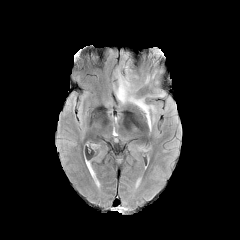
FLAIR MR image.
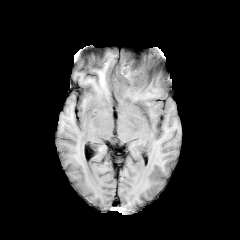
T1-weighted MR image of the same slice.
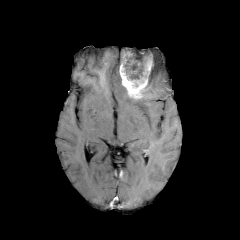
Same slice, post-contrast T1-weighted magnetic resonance.
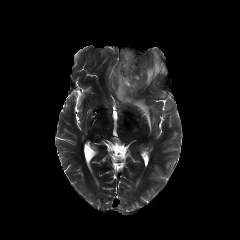
Same slice, T2-weighted MRI.
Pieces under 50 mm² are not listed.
enhancing tumor: bounding box box(119, 51, 154, 98)
necrotic tumor core: bounding box box(124, 52, 149, 79)
peritumoral edema: bounding box box(114, 67, 154, 130); box(142, 58, 166, 98)